FLAIR magnetic resonance.
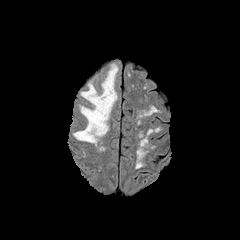
T1-weighted MRI.
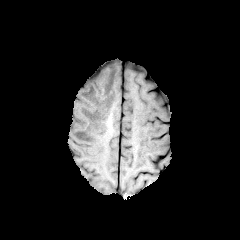
Post-contrast T1-weighted magnetic resonance.
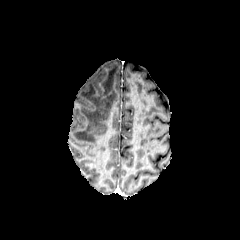
T2-weighted MRI.
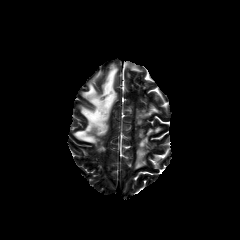
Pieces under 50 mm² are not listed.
peritumoral_edema:
  - box=[73, 63, 118, 145]